Slice index 30 | Brain | Axial view
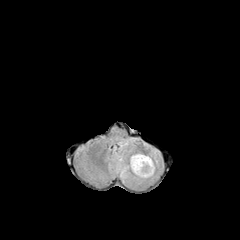
FLAIR magnetic resonance.
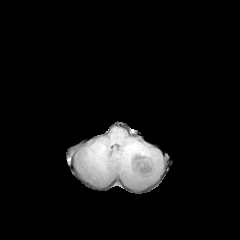
T1-weighted MRI.
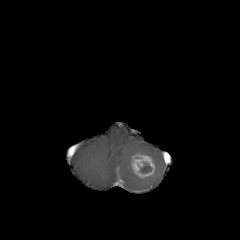
Post-contrast T1-weighted MR image.
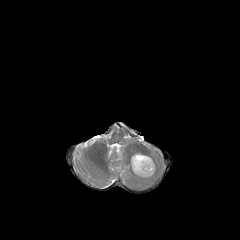
T2-weighted MR image.
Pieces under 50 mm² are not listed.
<segmentation>
  <peritumoral_edema>(120,140,132,150), (110,149,160,183)</peritumoral_edema>
  <necrotic_tumor_core>(141,165,151,172)</necrotic_tumor_core>
  <enhancing_tumor>(131,153,155,178)</enhancing_tumor>
</segmentation>